Slice index 109; Axial slice; Brain; Image covers 240 mm x 240 mm
FLAIR MR image.
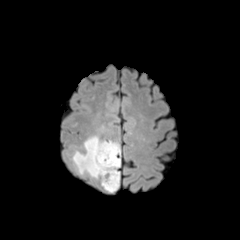
T1-weighted MRI.
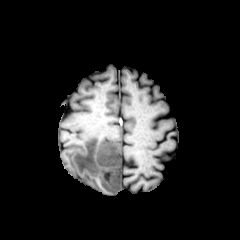
Post-contrast T1-weighted MR image.
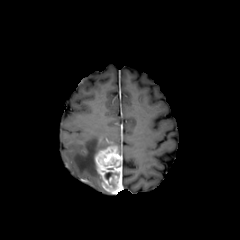
T2-weighted MR.
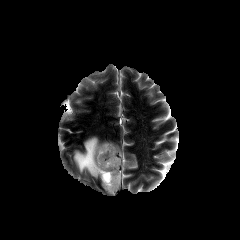
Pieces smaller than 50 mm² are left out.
Segmented structures:
• necrotic tumor core: {"x1": 105, "y1": 172, "x2": 118, "y2": 179}
• peritumoral edema: {"x1": 73, "y1": 136, "x2": 120, "y2": 178}
• enhancing tumor: {"x1": 95, "y1": 145, "x2": 121, "y2": 193}